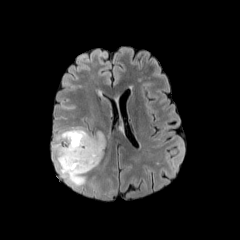
FLAIR MRI.
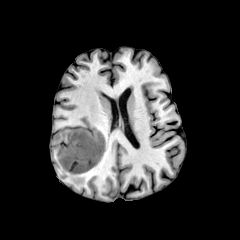
Same slice, T1-weighted MR image.
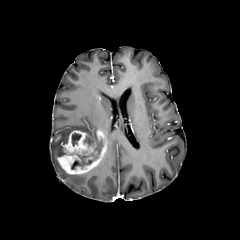
Post-contrast T1-weighted MR.
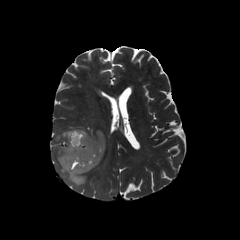
T2-weighted magnetic resonance of the same slice.
Image size 240x240. Brain.
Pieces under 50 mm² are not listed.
{"peritumoral_edema": ["<box>53,126,91,186</box>"], "enhancing_tumor": ["<box>57,129,107,174</box>"], "necrotic_tumor_core": ["<box>71,134,102,169</box>", "<box>72,133,81,146</box>"]}